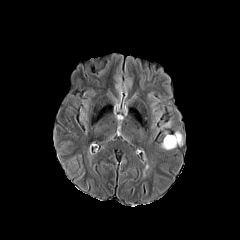
FLAIR magnetic resonance.
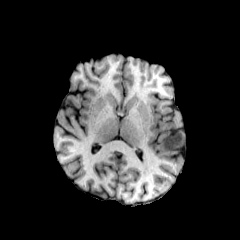
Same slice, T1-weighted MRI.
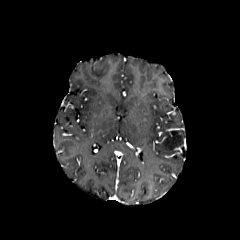
Post-contrast T1-weighted magnetic resonance.
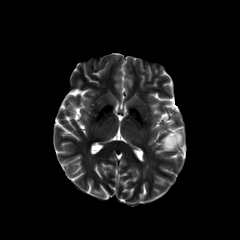
T2-weighted MRI.
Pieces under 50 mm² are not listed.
- peritumoral edema: [161,132,183,149]